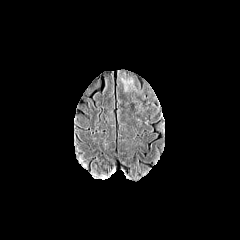
FLAIR MR.
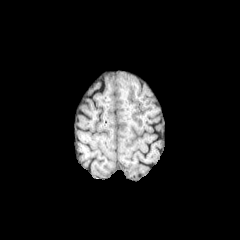
T1-weighted MRI of the same slice.
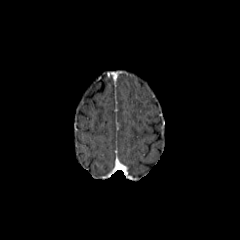
Post-contrast T1-weighted magnetic resonance.
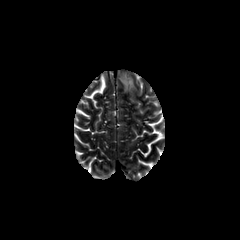
Same slice, T2-weighted MR.
Axial view; Head; Image size 240x240
Segmented structures:
* peritumoral edema: box=[121, 78, 132, 90]